FLAIR magnetic resonance.
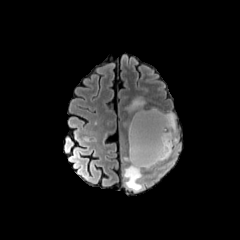
T1-weighted MRI.
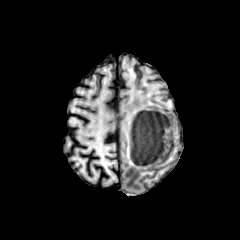
Post-contrast T1-weighted MR.
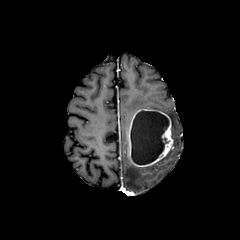
T2-weighted MR image.
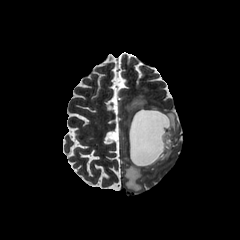
Brain
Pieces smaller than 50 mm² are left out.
Segmented structures:
* enhancing tumor: region(127, 109, 173, 167)
* necrotic tumor core: region(131, 111, 168, 164)
* peritumoral edema: region(167, 112, 176, 137); region(123, 97, 145, 128); region(124, 163, 143, 191)